Axial slice. Image covers 240 mm x 240 mm. 240x240.
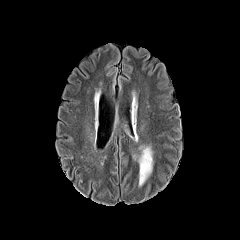
FLAIR magnetic resonance.
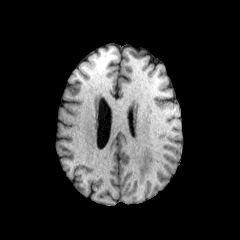
T1-weighted MRI of the same slice.
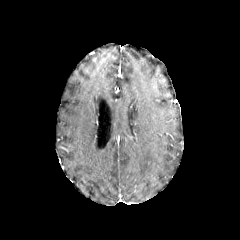
Post-contrast T1-weighted MR of the same slice.
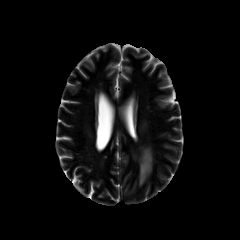
T2-weighted MR.
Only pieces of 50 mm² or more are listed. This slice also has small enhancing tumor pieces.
peritumoral edema: region(133, 144, 152, 186)